FLAIR MRI.
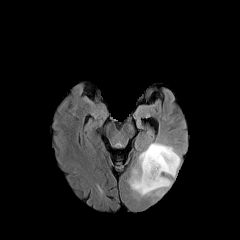
T1-weighted MR.
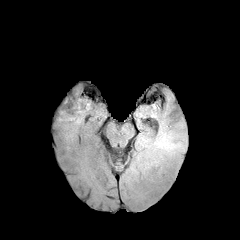
Post-contrast T1-weighted MRI.
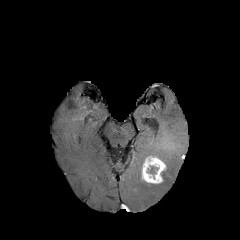
T2-weighted MR image.
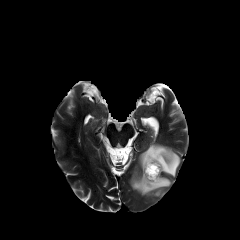
Head
enhancing tumor: bounding box (141,156,166,184)
necrotic tumor core: bounding box (145,163,160,179)
peritumoral edema: bounding box (129,142,180,196)